240x240 px. Axial slice. Head. Slice index 40.
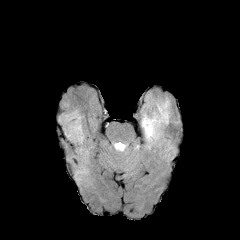
FLAIR MRI.
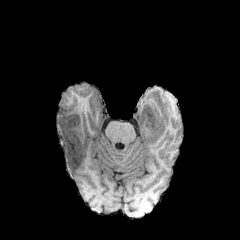
T1-weighted magnetic resonance.
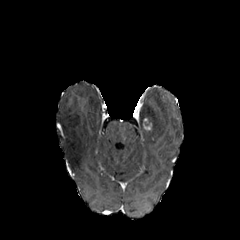
Post-contrast T1-weighted MRI.
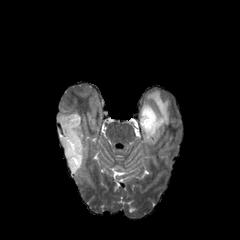
T2-weighted MR.
Findings:
- peritumoral edema: [x1=140, y1=93, x2=170, y2=141], [x1=57, y1=100, x2=90, y2=183]
- enhancing tumor: [x1=143, y1=118, x2=153, y2=130]